Head. Slice 79/155. Image size 240x240.
FLAIR magnetic resonance.
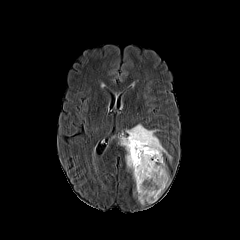
T1-weighted MR image.
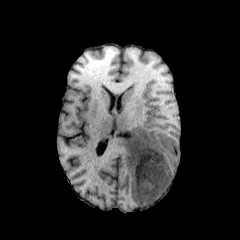
Post-contrast T1-weighted MR.
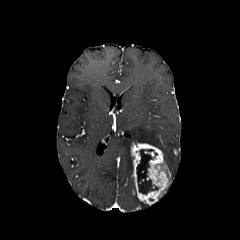
T2-weighted MRI.
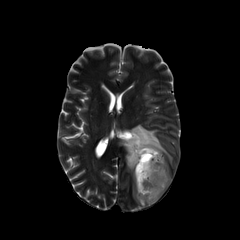
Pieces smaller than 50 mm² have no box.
peritumoral_edema:
  - (120,124,172,171)
necrotic_tumor_core:
  - (136,149,158,194)
enhancing_tumor:
  - (131,142,170,204)